FLAIR magnetic resonance.
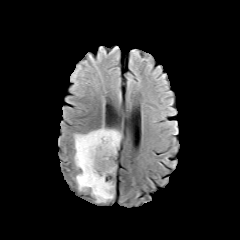
T1-weighted magnetic resonance.
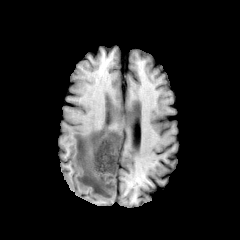
Post-contrast T1-weighted MR image.
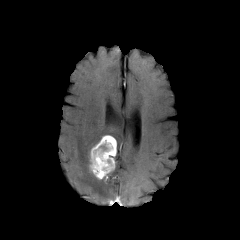
T2-weighted MRI.
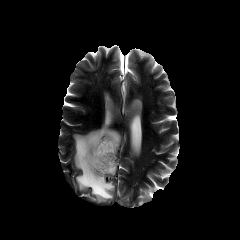
Image size 240x240, Head, Axial view
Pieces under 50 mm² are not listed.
The largest peritumoral edema region is located at [x1=74, y1=126, x2=121, y2=202]. The enhancing tumor lies within [x1=88, y1=135, x2=116, y2=179].